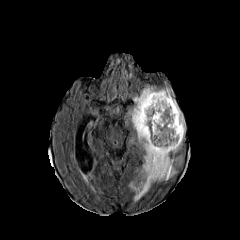
FLAIR MRI.
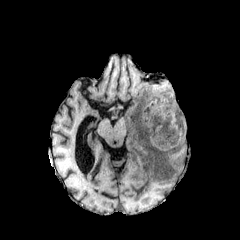
T1-weighted MRI of the same slice.
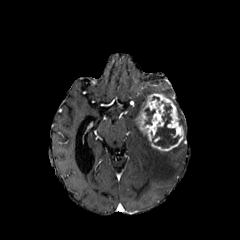
Post-contrast T1-weighted MR image of the same slice.
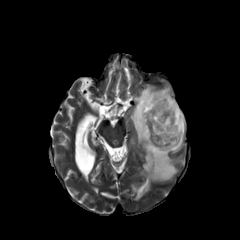
T2-weighted MR image.
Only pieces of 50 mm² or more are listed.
enhancing tumor at x1=135 y1=93 x2=183 y2=151
peritumoral edema at x1=129 y1=83 x2=185 y2=203, x1=171 y1=140 x2=182 y2=153
necrotic tumor core at x1=144 y1=107 x2=155 y2=125, x1=152 y1=101 x2=180 y2=147